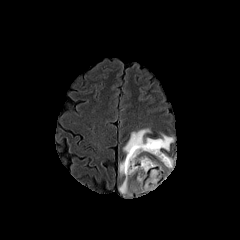
FLAIR magnetic resonance.
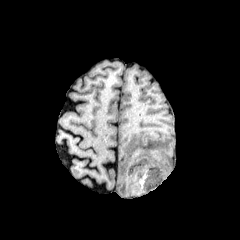
T1-weighted MR of the same slice.
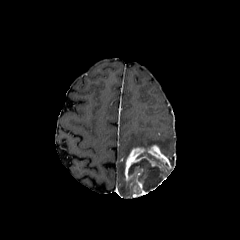
Post-contrast T1-weighted MRI of the same slice.
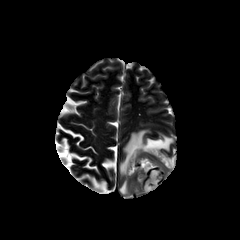
T2-weighted MR image.
Brain, Axial view
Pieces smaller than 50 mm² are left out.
peritumoral edema = x1=119, y1=158, x2=125, y2=176; x1=119, y1=180, x2=131, y2=195; x1=123, y1=129, x2=173, y2=157
necrotic tumor core = x1=128, y1=159, x2=163, y2=191
enhancing tumor = x1=124, y1=144, x2=173, y2=195